240x240 px; Brain
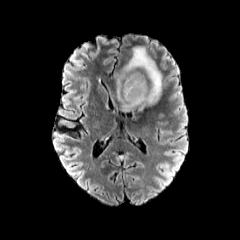
FLAIR MRI.
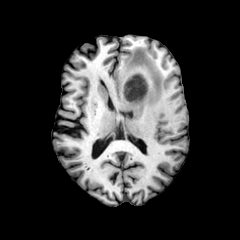
T1-weighted MR image.
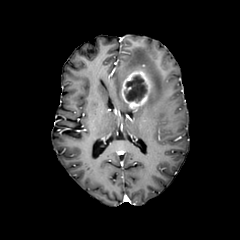
Post-contrast T1-weighted MR image.
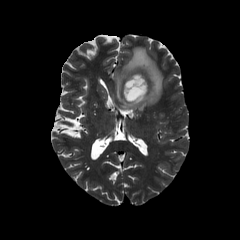
T2-weighted MR.
The peritumoral edema appears at l=116, t=47, r=162, b=109. The enhancing tumor is at l=121, t=70, r=151, b=109. The necrotic tumor core is bounded by l=125, t=76, r=146, b=101.